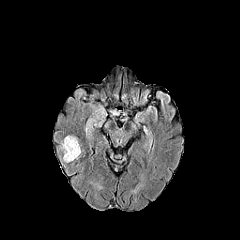
FLAIR MR image.
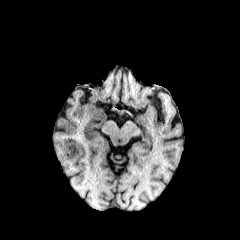
T1-weighted MR image of the same slice.
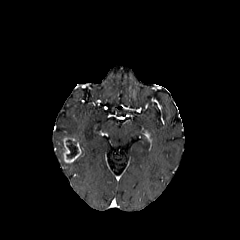
Post-contrast T1-weighted MRI of the same slice.
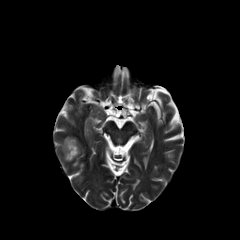
T2-weighted MR image.
Head
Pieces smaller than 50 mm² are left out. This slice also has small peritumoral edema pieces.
The enhancing tumor appears at 63 137 81 162. The necrotic tumor core is located at 66 139 78 158.